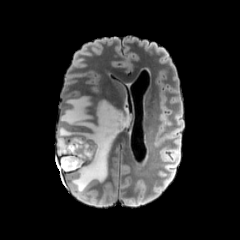
FLAIR MR.
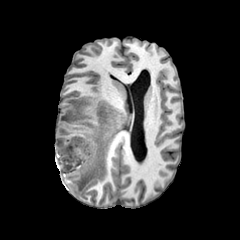
T1-weighted MRI.
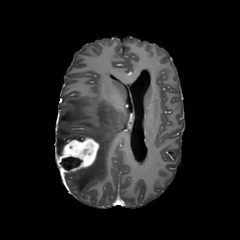
Same slice, post-contrast T1-weighted MR.
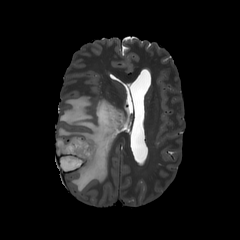
T2-weighted magnetic resonance.
Axial plane. 240x240.
<segmentation>
  <necrotic_tumor_core>box=[60, 157, 82, 170]</necrotic_tumor_core>
  <peritumoral_edema>box=[56, 96, 127, 197]</peritumoral_edema>
  <enhancing_tumor>box=[56, 137, 99, 172]</enhancing_tumor>
</segmentation>